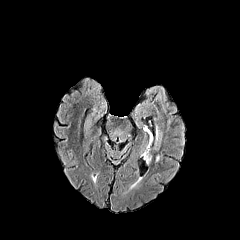
FLAIR magnetic resonance.
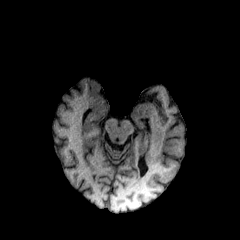
T1-weighted magnetic resonance.
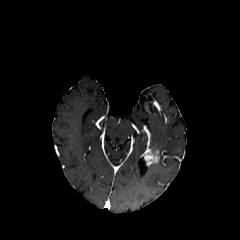
Post-contrast T1-weighted MR.
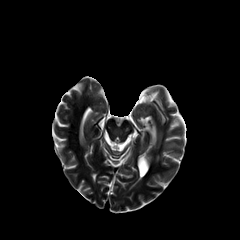
T2-weighted MR.
Axial slice. Head.
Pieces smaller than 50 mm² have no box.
peritumoral edema at (156,128,161,145)
enhancing tumor at (144,150,159,165)